Brain. Axial plane. Image covers 240 mm x 240 mm.
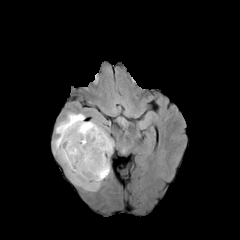
FLAIR MR image.
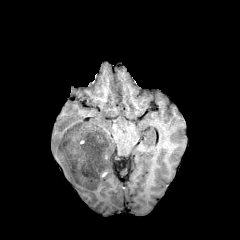
T1-weighted MR.
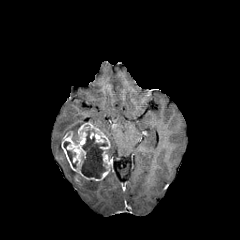
Post-contrast T1-weighted magnetic resonance.
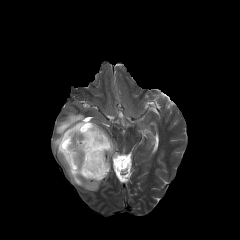
T2-weighted MR image.
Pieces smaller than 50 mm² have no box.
{"necrotic_tumor_core": ["l=63, t=141, r=76, b=168", "l=81, t=130, r=107, b=178"], "enhancing_tumor": ["l=61, t=122, r=110, b=181"], "peritumoral_edema": ["l=53, t=112, r=84, b=183", "l=75, t=175, r=101, b=191", "l=88, t=120, r=114, b=158"]}